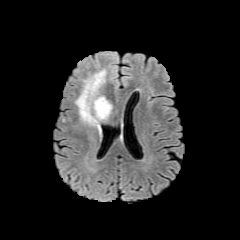
FLAIR MRI.
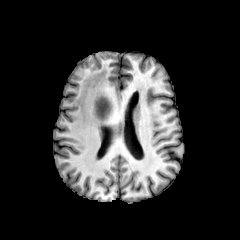
T1-weighted MRI of the same slice.
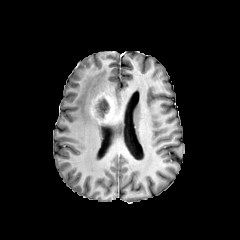
Post-contrast T1-weighted MR of the same slice.
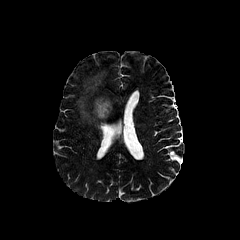
T2-weighted MR image of the same slice.
Axial view
peritumoral edema — rect(75, 69, 106, 131)
enhancing tumor — rect(90, 93, 113, 122)
necrotic tumor core — rect(95, 98, 109, 117)